Brain.
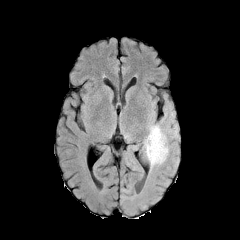
FLAIR MR image.
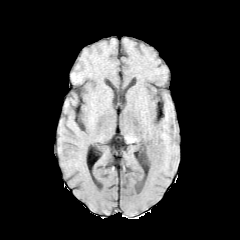
T1-weighted magnetic resonance.
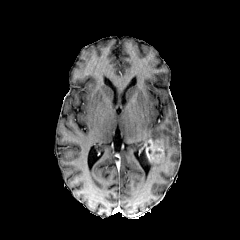
Post-contrast T1-weighted magnetic resonance.
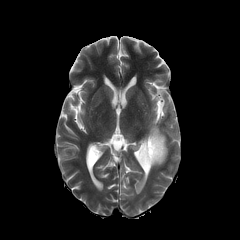
Same slice, T2-weighted MR.
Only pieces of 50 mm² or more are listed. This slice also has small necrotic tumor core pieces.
The peritumoral edema lies within x1=142 y1=125 x2=168 y2=169. The enhancing tumor is at x1=144 y1=138 x2=164 y2=163.